Slice 59/155, Brain, Image covers 240 mm x 240 mm
FLAIR magnetic resonance.
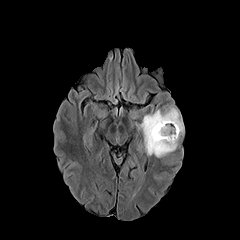
T1-weighted MRI.
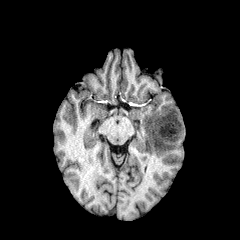
Post-contrast T1-weighted MR image.
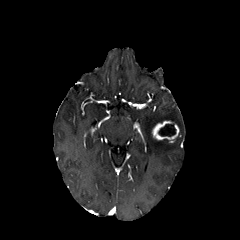
T2-weighted magnetic resonance.
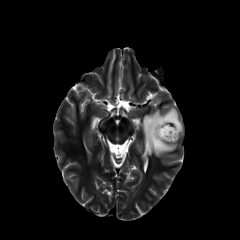
<segmentation>
  <enhancing_tumor>[152, 121, 179, 142]</enhancing_tumor>
  <peritumoral_edema>[141, 107, 183, 157]</peritumoral_edema>
  <necrotic_tumor_core>[158, 124, 176, 136]</necrotic_tumor_core>
</segmentation>